Head. Slice 62 of 155. Axial slice.
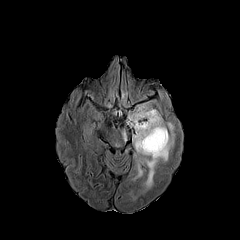
FLAIR MRI.
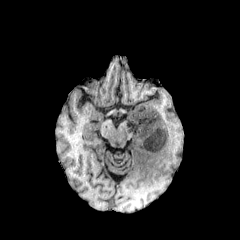
T1-weighted magnetic resonance of the same slice.
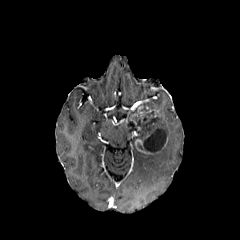
Same slice, post-contrast T1-weighted MR.
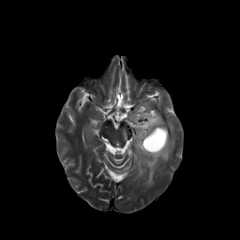
T2-weighted MRI.
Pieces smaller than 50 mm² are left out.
<segmentation>
  <necrotic_tumor_core><box>132,107,166,153</box></necrotic_tumor_core>
  <enhancing_tumor><box>135,139,152,154</box></enhancing_tumor>
  <peritumoral_edema><box>120,129,126,142</box>, <box>132,112,174,193</box></peritumoral_edema>
</segmentation>